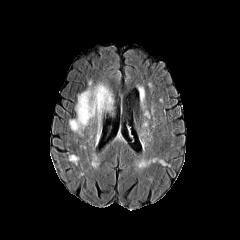
FLAIR MR.
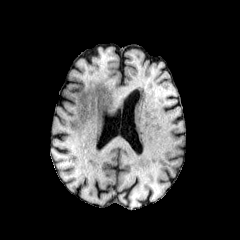
T1-weighted MRI.
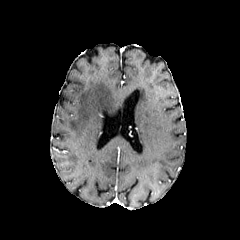
Post-contrast T1-weighted MR image.
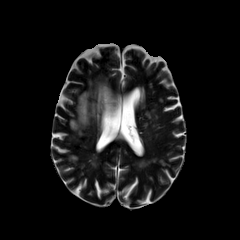
T2-weighted MRI.
Brain
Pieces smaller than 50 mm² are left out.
Findings:
* peritumoral edema: [69,83,113,136]